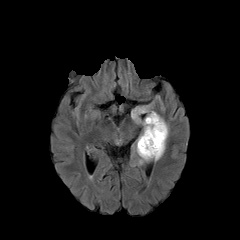
FLAIR magnetic resonance.
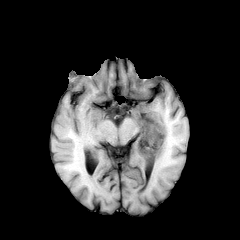
T1-weighted MRI.
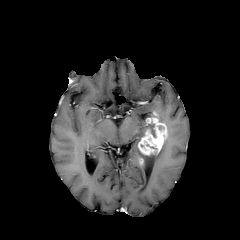
Post-contrast T1-weighted MRI of the same slice.
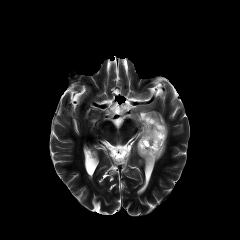
Same slice, T2-weighted MR image.
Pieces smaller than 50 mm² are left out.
peritumoral edema = left=158, top=114, right=168, bottom=135; left=131, top=105, right=166, bottom=165
enhancing tumor = left=138, top=111, right=167, bottom=155
necrotic tumor core = left=148, top=124, right=156, bottom=137